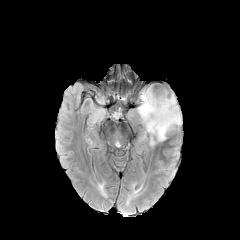
FLAIR MR.
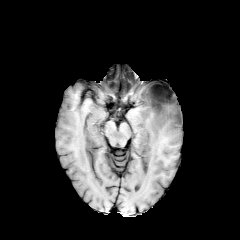
Same slice, T1-weighted MRI.
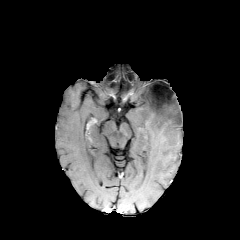
Post-contrast T1-weighted MR of the same slice.
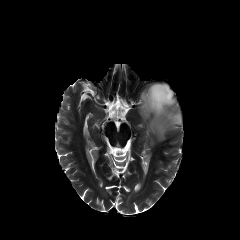
Same slice, T2-weighted MR.
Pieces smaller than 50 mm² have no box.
<segmentation>
  <necrotic_tumor_core>145 84 174 115</necrotic_tumor_core>
  <peritumoral_edema>137 85 182 141</peritumoral_edema>
</segmentation>